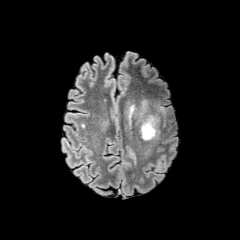
FLAIR MR.
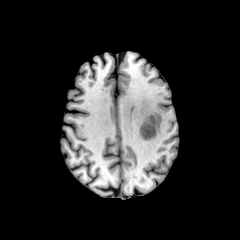
Same slice, T1-weighted MRI.
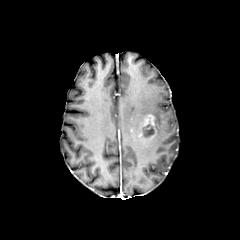
Post-contrast T1-weighted magnetic resonance of the same slice.
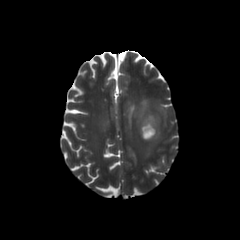
T2-weighted MR image.
Axial view.
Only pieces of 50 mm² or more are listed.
The 2 largest peritumoral edema regions are located at 140, 101, 159, 135; 129, 106, 133, 124. The enhancing tumor appears at 141, 114, 155, 140. The largest necrotic tumor core region is bounded by 144, 127, 153, 136.